FLAIR magnetic resonance.
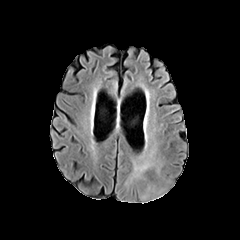
T1-weighted MRI.
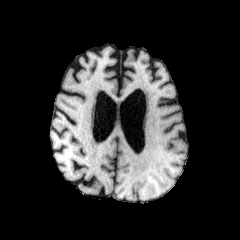
Post-contrast T1-weighted MRI.
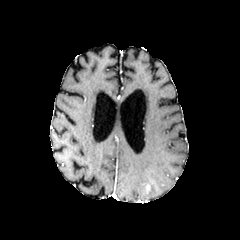
T2-weighted MRI.
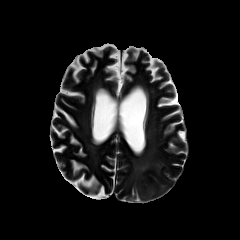
Axial plane | Head | 240x240
Segmented structures:
• peritumoral edema: [x1=133, y1=157, x2=155, y2=169]